FLAIR MRI.
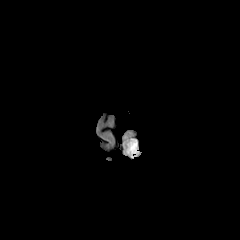
T1-weighted MR.
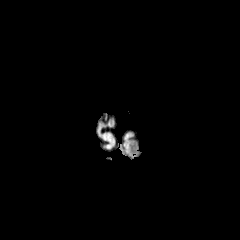
Post-contrast T1-weighted magnetic resonance.
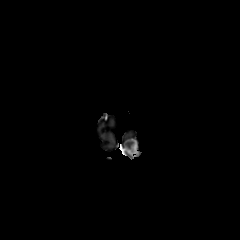
T2-weighted magnetic resonance.
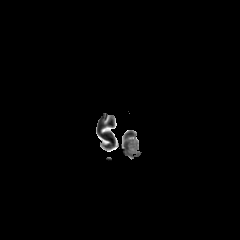
Brain
peritumoral edema at 122:130:133:153
enhancing tumor at 126:139:140:157